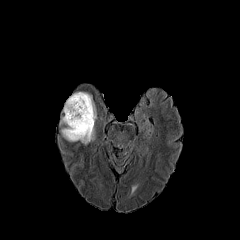
FLAIR MR image.
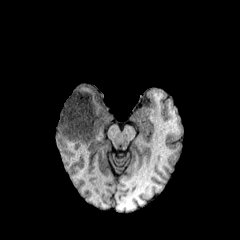
T1-weighted MR image.
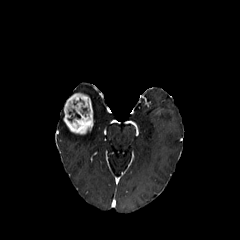
Post-contrast T1-weighted MRI.
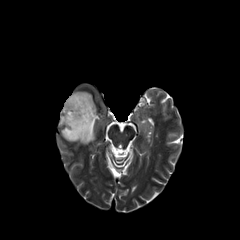
T2-weighted MR.
Brain
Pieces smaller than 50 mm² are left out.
necrotic tumor core: [68,109,80,121] | enhancing tumor: [63,92,93,134] | peritumoral edema: [80,92,96,116], [59,116,95,144]